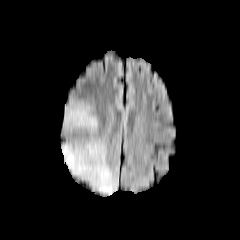
FLAIR MR image.
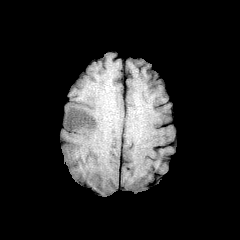
T1-weighted MRI.
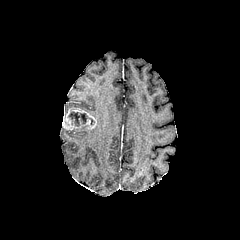
Post-contrast T1-weighted MRI of the same slice.
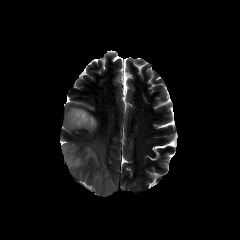
T2-weighted magnetic resonance.
Image size 240x240
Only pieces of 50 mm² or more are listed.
enhancing tumor: [63,107,96,130] | peritumoral edema: [62,140,117,195], [64,103,89,114], [72,120,97,133] | necrotic tumor core: [68,111,87,126]